Slice 110 of 155. 240x240. Head.
FLAIR MRI.
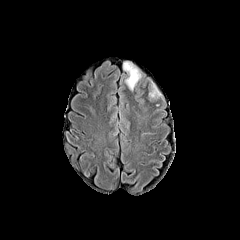
T1-weighted MRI.
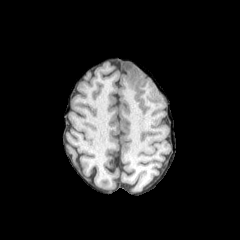
Post-contrast T1-weighted magnetic resonance.
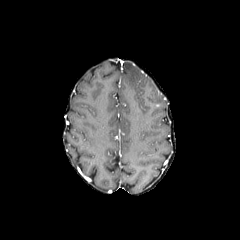
T2-weighted MRI.
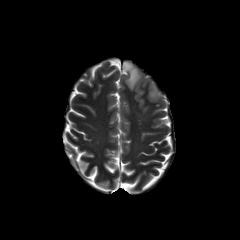
{"peritumoral_edema": ["[x1=123, y1=62, x2=141, y2=90]", "[x1=149, y1=85, x2=159, y2=97]"]}